Slice index 111
FLAIR MR image.
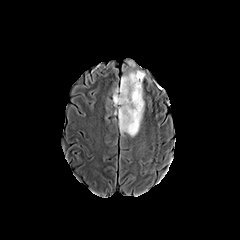
T1-weighted MR.
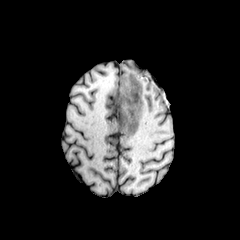
Post-contrast T1-weighted MR.
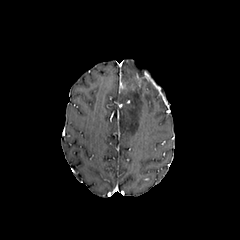
T2-weighted magnetic resonance.
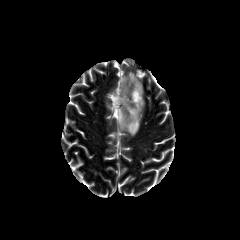
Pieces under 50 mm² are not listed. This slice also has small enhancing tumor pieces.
peritumoral_edema:
  - (left=113, top=69, right=145, bottom=137)